FLAIR MR.
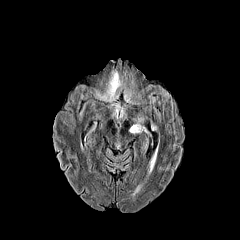
T1-weighted MR.
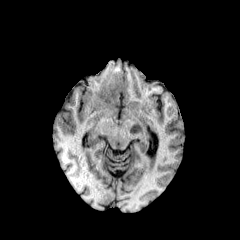
Post-contrast T1-weighted MR image.
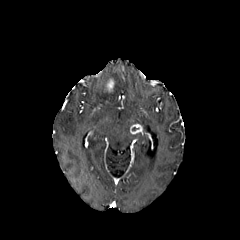
T2-weighted MR.
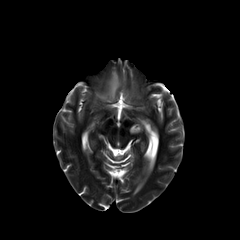
240x240.
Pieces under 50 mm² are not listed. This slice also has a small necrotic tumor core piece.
- enhancing tumor: (left=106, top=79, right=114, bottom=92), (left=130, top=124, right=142, bottom=134)
- peritumoral edema: (left=111, top=103, right=124, bottom=117), (left=95, top=70, right=122, bottom=102), (left=125, top=91, right=131, bottom=102)